Head; Axial view
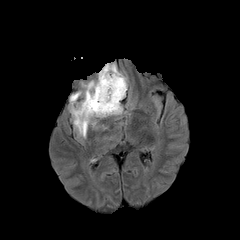
FLAIR magnetic resonance.
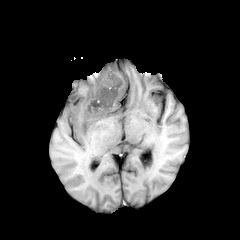
Same slice, T1-weighted MR image.
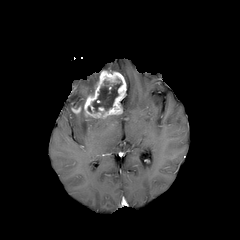
Same slice, post-contrast T1-weighted magnetic resonance.
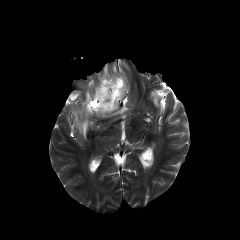
T2-weighted MRI of the same slice.
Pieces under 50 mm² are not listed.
The largest necrotic tumor core region appears at 92, 76, 121, 112. The 3 largest peritumoral edema regions are bounded by 70, 80, 96, 138; 70, 91, 81, 107; 103, 63, 117, 71. The 2 largest enhancing tumor regions are bounded by 71, 105, 81, 114; 83, 70, 126, 121.